FLAIR MRI.
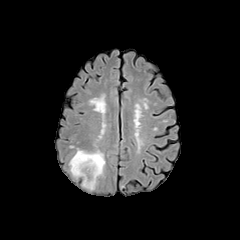
T1-weighted magnetic resonance.
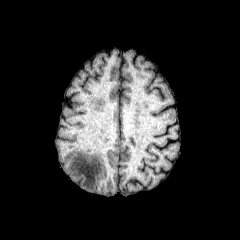
Post-contrast T1-weighted MR.
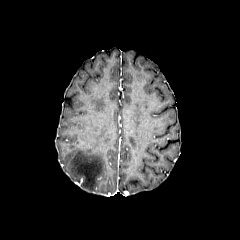
T2-weighted MR image.
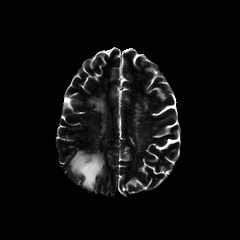
The peritumoral edema appears at left=69, top=149, right=105, bottom=190.